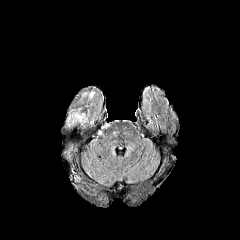
FLAIR MRI.
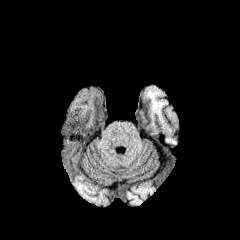
Same slice, T1-weighted magnetic resonance.
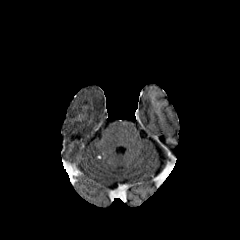
Post-contrast T1-weighted MR of the same slice.
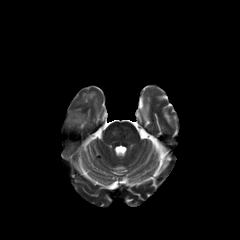
T2-weighted MRI.
Head | Axial plane
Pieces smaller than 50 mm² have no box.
The largest peritumoral edema region lies within (68,113,85,125).